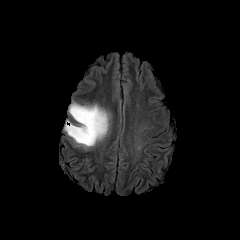
FLAIR magnetic resonance.
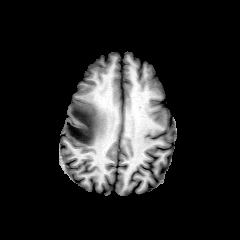
Same slice, T1-weighted MR image.
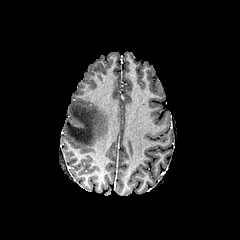
Same slice, post-contrast T1-weighted MR image.
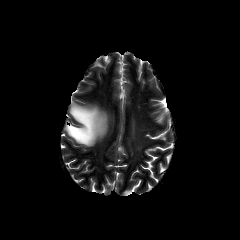
T2-weighted MRI of the same slice.
Axial view.
peritumoral edema: 64, 103, 109, 147